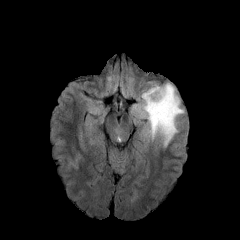
FLAIR MR.
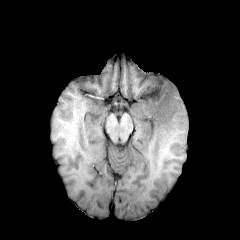
Same slice, T1-weighted MRI.
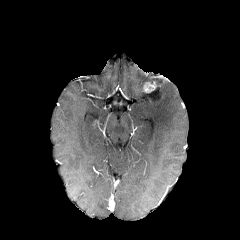
Post-contrast T1-weighted MRI.
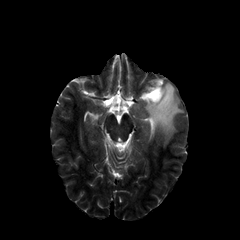
Same slice, T2-weighted MR image.
Brain | Axial plane
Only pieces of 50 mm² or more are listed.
necrotic tumor core at box=[148, 88, 159, 96]
enhancing tumor at box=[144, 82, 157, 92]; box=[148, 86, 164, 104]
peritumoral edema at box=[132, 82, 184, 146]; box=[151, 91, 162, 102]